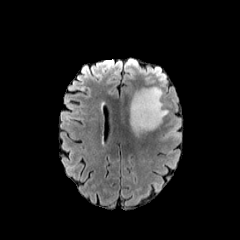
FLAIR magnetic resonance.
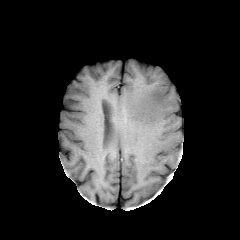
Same slice, T1-weighted MR image.
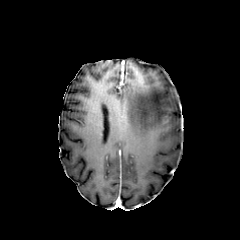
Post-contrast T1-weighted MRI.
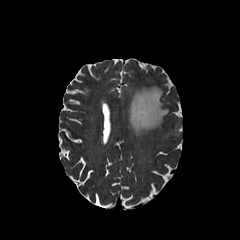
T2-weighted MR.
Axial plane.
peritumoral edema at bbox=[130, 87, 168, 135]